FLAIR magnetic resonance.
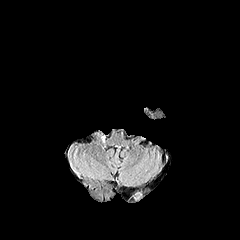
T1-weighted MR image.
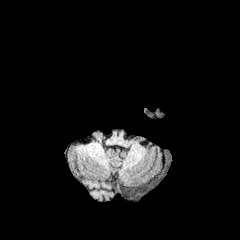
Post-contrast T1-weighted MR image.
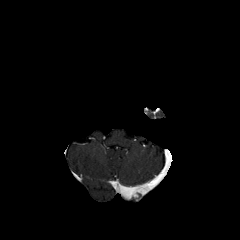
T2-weighted MR image.
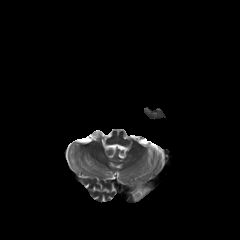
Image size 240x240. Head.
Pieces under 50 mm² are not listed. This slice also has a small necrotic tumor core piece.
enhancing tumor = x1=132 y1=183 x2=151 y2=200